Head; Axial slice; 240x240; Image covers 240 mm x 240 mm
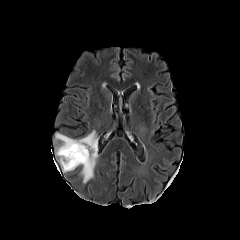
FLAIR MRI.
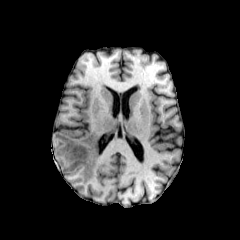
T1-weighted MRI of the same slice.
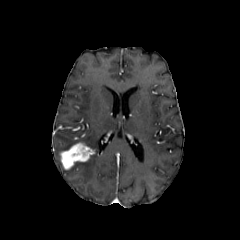
Post-contrast T1-weighted magnetic resonance.
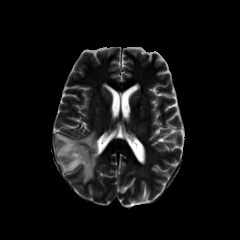
T2-weighted MR.
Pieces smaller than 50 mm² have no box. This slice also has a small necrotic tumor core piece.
Segmented structures:
- peritumoral edema: [55,130,98,183]
- enhancing tumor: [60,142,94,169]